Brain
FLAIR magnetic resonance.
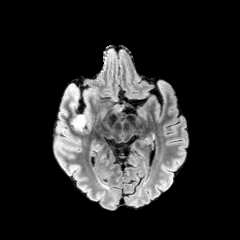
T1-weighted MR.
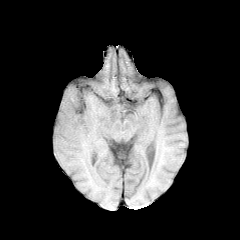
Post-contrast T1-weighted MR image.
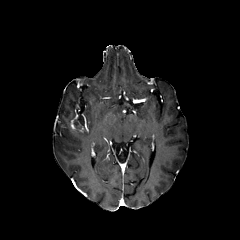
T2-weighted MR image.
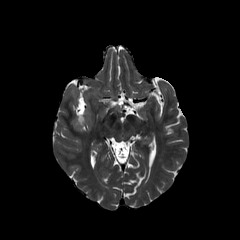
necrotic_tumor_core:
  - {"x1": 74, "y1": 115, "x2": 84, "y2": 127}
enhancing_tumor:
  - {"x1": 70, "y1": 114, "x2": 86, "y2": 132}